Brain. Slice index 49.
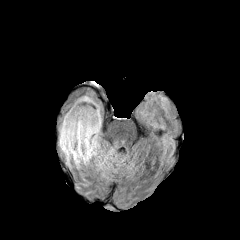
FLAIR MRI.
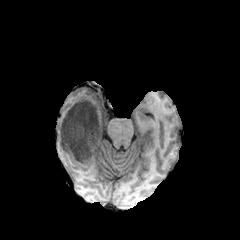
Same slice, T1-weighted magnetic resonance.
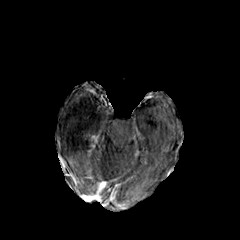
Post-contrast T1-weighted MRI.
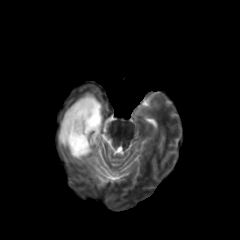
T2-weighted MRI of the same slice.
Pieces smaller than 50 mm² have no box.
peritumoral edema = rect(59, 93, 102, 168)
enhancing tumor = rect(87, 143, 95, 156); rect(91, 131, 100, 143)
necrotic tumor core = rect(66, 114, 98, 157)